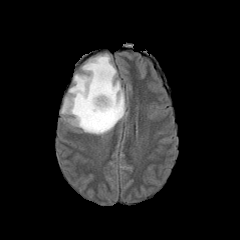
FLAIR MR.
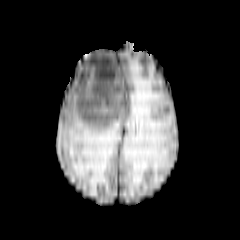
T1-weighted magnetic resonance.
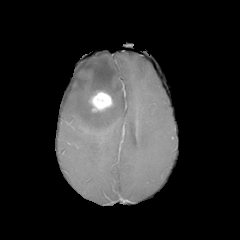
Same slice, post-contrast T1-weighted MR.
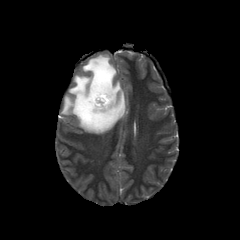
Same slice, T2-weighted MR.
Head
The peritumoral edema is bounded by <bbox>61, 54, 126, 134</bbox>. The enhancing tumor is at <bbox>88, 90, 113, 112</bbox>.